FLAIR MR.
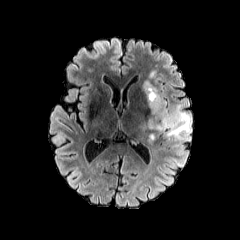
T1-weighted magnetic resonance.
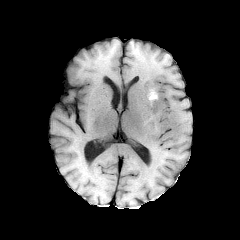
Post-contrast T1-weighted MR image.
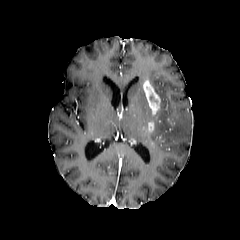
T2-weighted MRI.
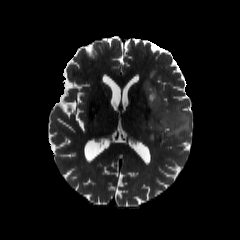
Axial slice | Image size 240x240
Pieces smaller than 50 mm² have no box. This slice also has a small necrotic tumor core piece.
peritumoral edema: region(148, 99, 191, 142); region(147, 70, 156, 80) | enhancing tumor: region(143, 80, 161, 115); region(147, 121, 155, 141)